FLAIR magnetic resonance.
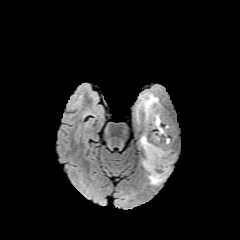
T1-weighted magnetic resonance.
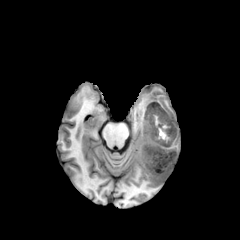
Post-contrast T1-weighted magnetic resonance.
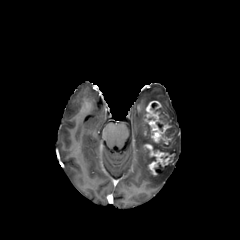
T2-weighted MR image.
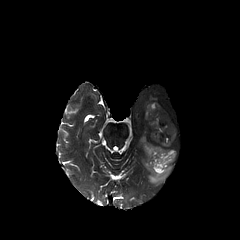
Axial plane, Image size 240x240, Brain
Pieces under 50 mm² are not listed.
* necrotic tumor core: [147, 124, 173, 154], [151, 103, 170, 131], [162, 126, 173, 138]
* peritumoral edema: [142, 155, 171, 185], [143, 94, 158, 113], [140, 135, 147, 146]
* enhancing tumor: [143, 138, 174, 175], [144, 101, 170, 142]